FLAIR MRI.
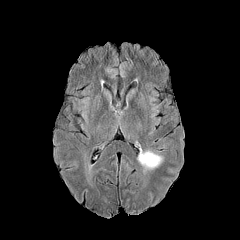
T1-weighted MRI.
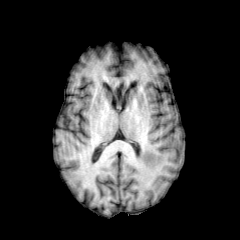
Post-contrast T1-weighted magnetic resonance.
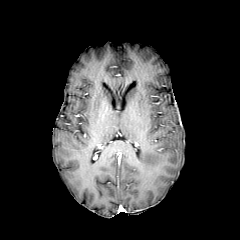
T2-weighted magnetic resonance.
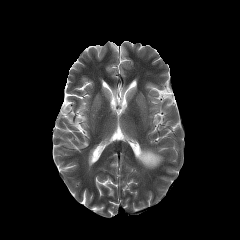
Axial slice | 240x240
Findings:
• peritumoral edema: [138,150,162,168]